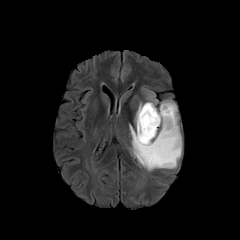
FLAIR MRI.
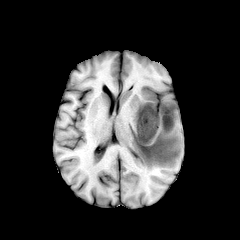
T1-weighted magnetic resonance.
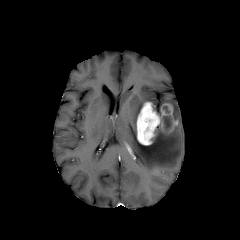
Post-contrast T1-weighted MRI of the same slice.
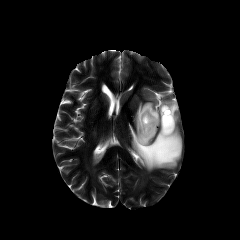
T2-weighted MRI.
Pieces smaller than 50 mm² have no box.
The largest necrotic tumor core region is at (x1=163, y1=116, x2=171, y2=129). The 3 largest peritumoral edema regions are bounded by (x1=134, y1=102, x2=143, y2=124), (x1=147, y1=94, x2=157, y2=105), (x1=129, y1=99, x2=182, y2=171). The enhancing tumor is located at (x1=136, y1=102, x2=177, y2=145).